FLAIR MR image.
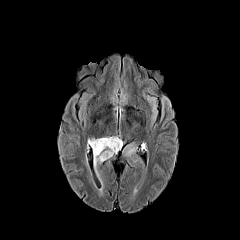
T1-weighted MRI.
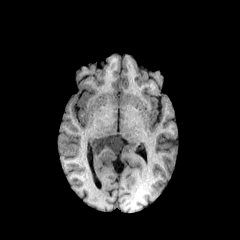
Post-contrast T1-weighted MR image.
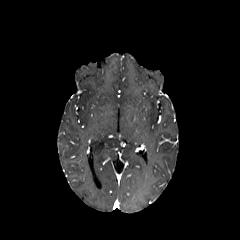
T2-weighted magnetic resonance.
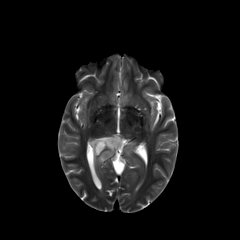
Axial plane. Head.
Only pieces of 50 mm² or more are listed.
peritumoral edema: [125,145,134,156], [88,137,120,176]